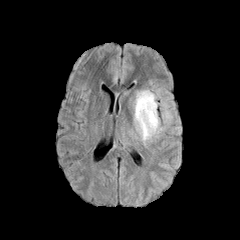
FLAIR magnetic resonance.
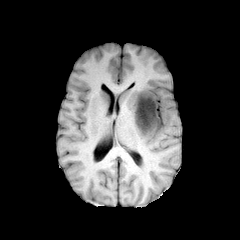
T1-weighted MRI of the same slice.
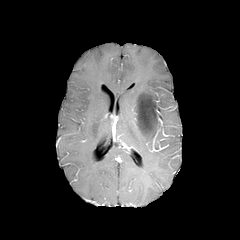
Same slice, post-contrast T1-weighted MR.
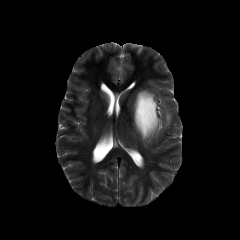
T2-weighted MR.
240x240 px.
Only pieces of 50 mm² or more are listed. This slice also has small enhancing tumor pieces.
The peritumoral edema lies within (133,89,172,145). The necrotic tumor core lies within (138,97,155,130).